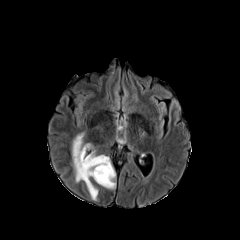
FLAIR MRI.
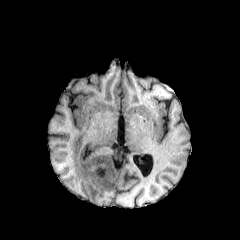
T1-weighted MR.
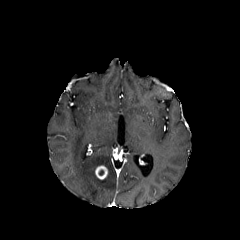
Same slice, post-contrast T1-weighted magnetic resonance.
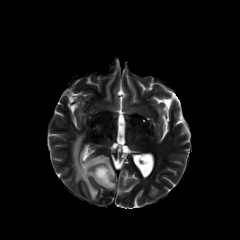
Same slice, T2-weighted MR.
Head
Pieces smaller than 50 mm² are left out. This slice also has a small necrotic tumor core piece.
{
  "peritumoral_edema": [
    "[72,133,115,200]"
  ],
  "enhancing_tumor": [
    "[95,165,108,179]"
  ]
}